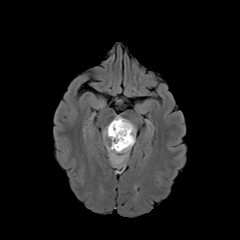
FLAIR MR.
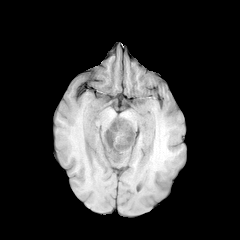
T1-weighted MRI.
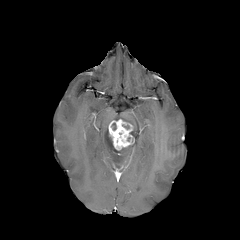
Same slice, post-contrast T1-weighted MRI.
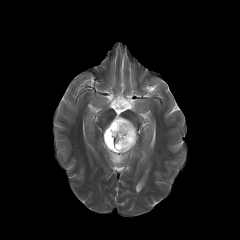
T2-weighted MR image of the same slice.
Head
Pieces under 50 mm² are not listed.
2 peritumoral edema regions are bounded by box(113, 115, 136, 141); box(103, 126, 133, 168). The largest enhancing tumor region is at box(108, 119, 134, 150). The largest necrotic tumor core region lies within box(106, 131, 113, 147).